Axial slice | Slice index 132 | Image size 240x240
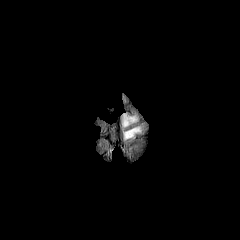
FLAIR magnetic resonance.
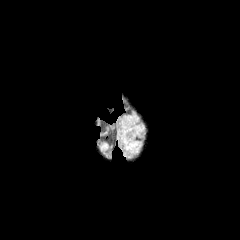
Same slice, T1-weighted MR image.
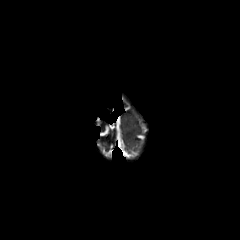
Same slice, post-contrast T1-weighted MR.
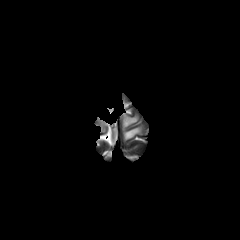
Same slice, T2-weighted MRI.
peritumoral edema: 121:112:139:128, 122:125:143:140